Slice index 37
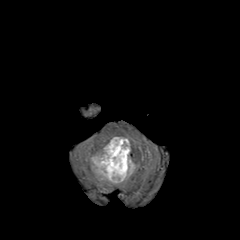
FLAIR MR image.
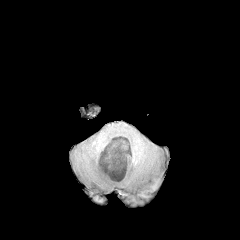
T1-weighted MR image of the same slice.
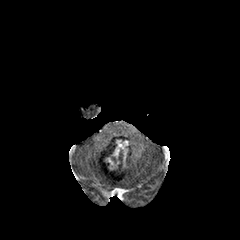
Post-contrast T1-weighted magnetic resonance.
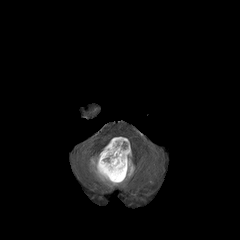
T2-weighted MRI of the same slice.
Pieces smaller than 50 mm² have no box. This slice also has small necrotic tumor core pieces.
The peritumoral edema lies within [x1=90, y1=137, x2=135, y2=185]. The enhancing tumor is located at [x1=100, y1=139, x2=129, y2=176].